FLAIR MRI.
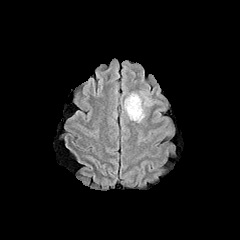
T1-weighted MR.
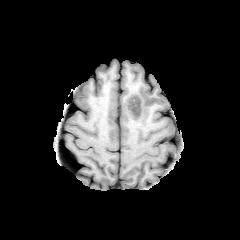
Post-contrast T1-weighted MR.
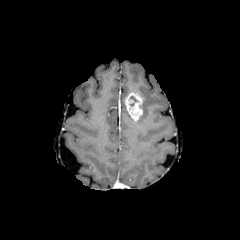
T2-weighted MR image.
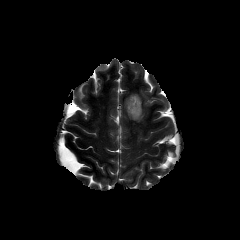
240x240 px, Head
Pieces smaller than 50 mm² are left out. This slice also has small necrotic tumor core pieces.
The largest peritumoral edema region is bounded by (136,91,152,122). The enhancing tumor appears at (125,92,142,120).